FLAIR MR image.
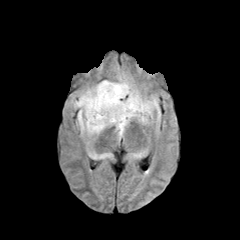
T1-weighted MRI.
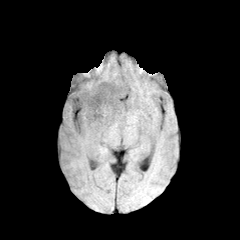
Post-contrast T1-weighted MR image.
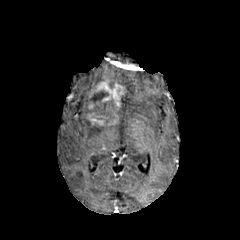
T2-weighted magnetic resonance.
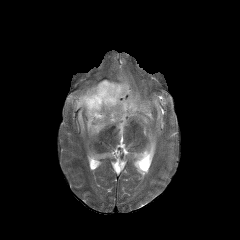
Axial view
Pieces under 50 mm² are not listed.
necrotic tumor core = x1=89, y1=91, x2=115, y2=124
peritumoral edema = x1=88, y1=152, x2=108, y2=158; x1=71, y1=84, x2=110, y2=136; x1=108, y1=72, x2=160, y2=138
enhancing tumor = x1=86, y1=80, x2=125, y2=125